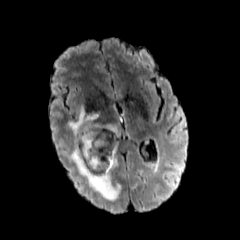
FLAIR MRI.
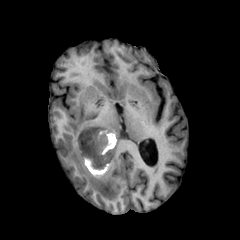
T1-weighted MR image of the same slice.
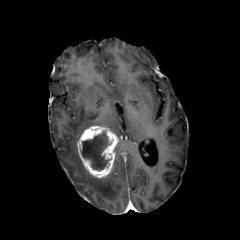
Post-contrast T1-weighted MRI.
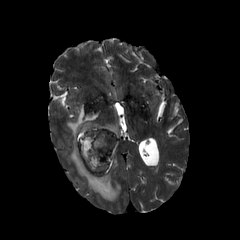
T2-weighted MR of the same slice.
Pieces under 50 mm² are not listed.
enhancing tumor — 77 125 117 178
peritumoral edema — 68 106 120 200, 104 124 117 136
necrotic tumor core — 81 132 111 170